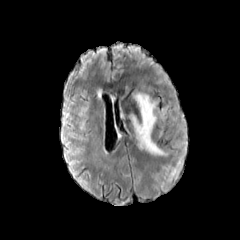
FLAIR MR.
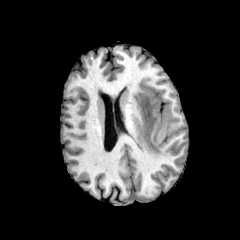
T1-weighted MR image.
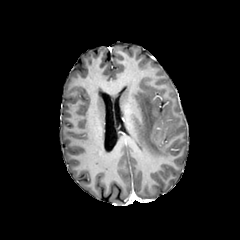
Post-contrast T1-weighted MRI.
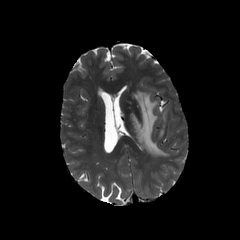
T2-weighted magnetic resonance.
Axial plane
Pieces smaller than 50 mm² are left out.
peritumoral edema: rect(131, 91, 167, 155)